Axial plane, Slice 62/155
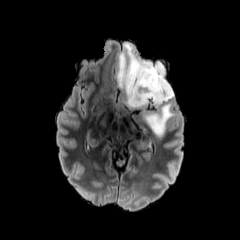
FLAIR magnetic resonance.
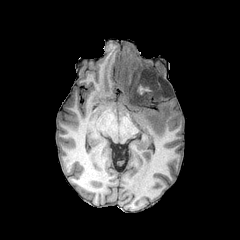
T1-weighted magnetic resonance.
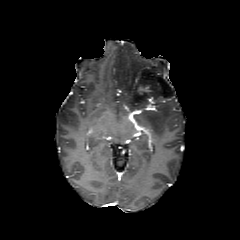
Post-contrast T1-weighted MRI of the same slice.
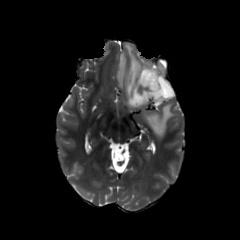
T2-weighted magnetic resonance.
Findings:
* enhancing tumor: bbox(138, 85, 151, 94); bbox(133, 72, 140, 88); bbox(147, 96, 169, 106)
* peritumoral edema: bbox(116, 42, 174, 137)